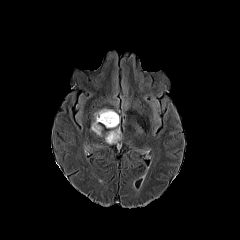
FLAIR MR.
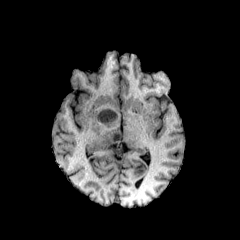
T1-weighted MRI.
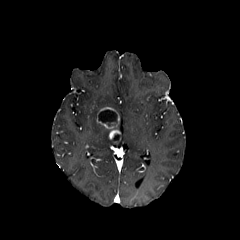
Post-contrast T1-weighted MR of the same slice.
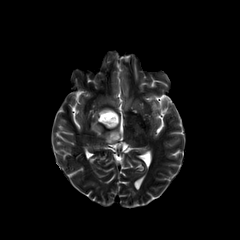
T2-weighted MRI.
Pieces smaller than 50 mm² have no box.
The 2 largest peritumoral edema regions are located at <bbox>105, 133, 116, 143</bbox>, <bbox>91, 112, 102, 136</bbox>. The largest enhancing tumor region is located at <bbox>96, 107, 120, 141</bbox>. The largest necrotic tumor core region lies within <bbox>98, 110, 117, 126</bbox>.